Axial view, 240x240 px, Head, Slice index 117
FLAIR MR image.
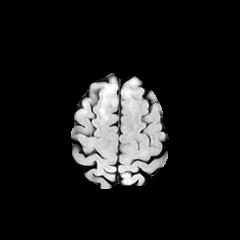
T1-weighted MR.
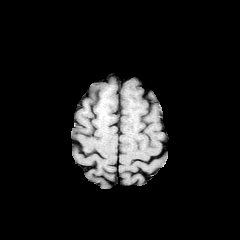
Post-contrast T1-weighted magnetic resonance.
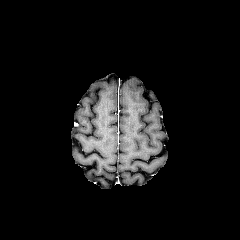
T2-weighted MRI.
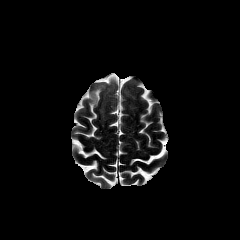
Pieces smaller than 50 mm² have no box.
peritumoral edema at [104,80,115,96], [123,89,132,96]